240x240. Axial slice. Image covers 240 mm x 240 mm.
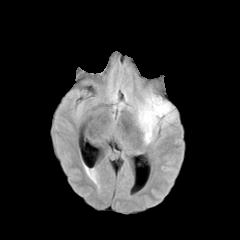
FLAIR MR image.
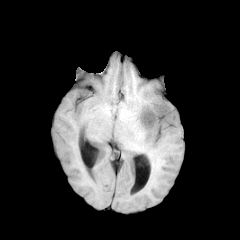
T1-weighted MRI.
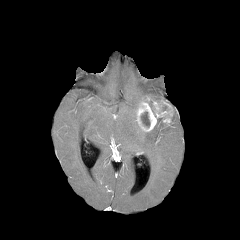
Same slice, post-contrast T1-weighted MR image.
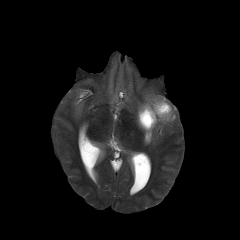
T2-weighted magnetic resonance.
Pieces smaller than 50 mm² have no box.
<segmentation>
  <peritumoral_edema>142 120 169 144, 142 94 162 105</peritumoral_edema>
  <enhancing_tumor>137 99 173 131</enhancing_tumor>
  <necrotic_tumor_core>141 112 149 126</necrotic_tumor_core>
</segmentation>